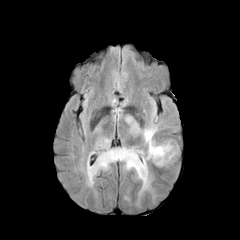
FLAIR MR image.
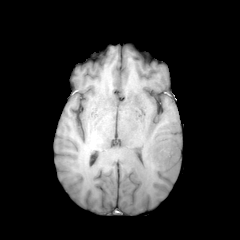
T1-weighted MRI of the same slice.
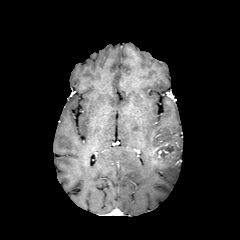
Post-contrast T1-weighted magnetic resonance.
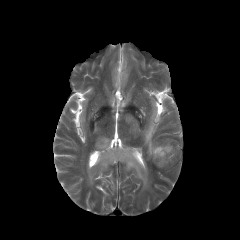
T2-weighted MR image.
{"peritumoral_edema": ["[x1=87, y1=107, x2=179, y2=194]"], "necrotic_tumor_core": ["[x1=154, y1=144, x2=173, y2=161]"], "enhancing_tumor": ["[x1=149, y1=143, x2=174, y2=165]"]}